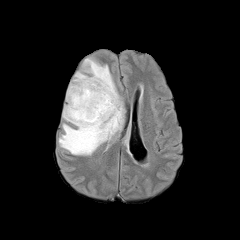
FLAIR MR image.
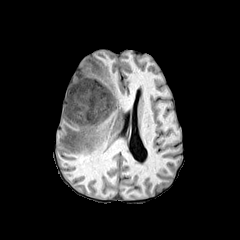
T1-weighted MR image.
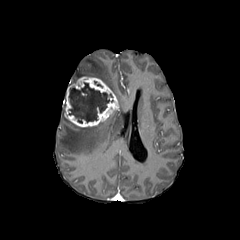
Post-contrast T1-weighted magnetic resonance.
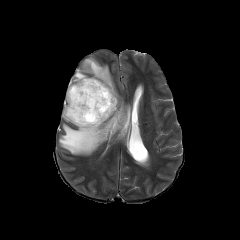
T2-weighted magnetic resonance.
Head. Axial plane.
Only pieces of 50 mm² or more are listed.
Annotated regions:
• enhancing tumor: (64, 76, 118, 127)
• peritumoral edema: (58, 57, 124, 155)
• necrotic tumor core: (69, 82, 112, 123)